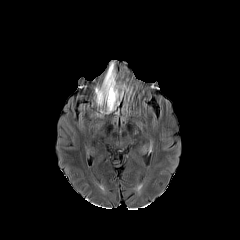
FLAIR MR image.
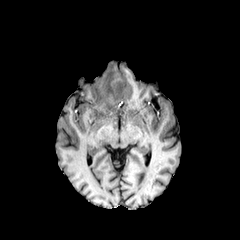
T1-weighted MRI of the same slice.
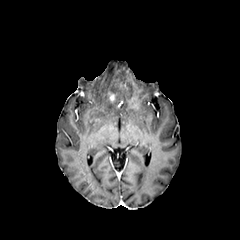
Post-contrast T1-weighted MRI.
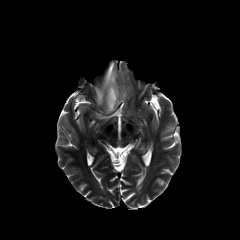
Same slice, T2-weighted MR.
Head
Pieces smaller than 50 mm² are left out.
The largest peritumoral edema region is bounded by (left=95, top=62, right=124, bottom=112). The largest enhancing tumor region appears at (left=108, top=91, right=117, bottom=102).